Brain. Slice index 85. Image width 240 mm.
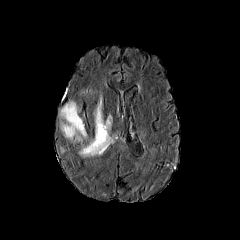
FLAIR magnetic resonance.
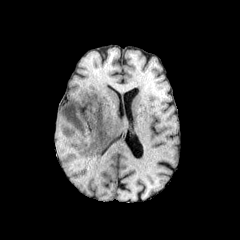
T1-weighted MR image.
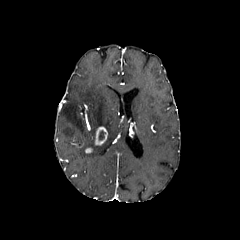
Post-contrast T1-weighted MR image.
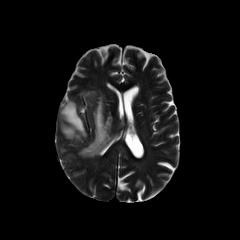
T2-weighted MR of the same slice.
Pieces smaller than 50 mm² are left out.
The largest enhancing tumor region is located at x1=94 y1=126 x2=107 y2=145. The necrotic tumor core is located at x1=99 y1=130 x2=106 y2=140. The 2 largest peritumoral edema regions appear at x1=60 y1=101 x2=87 y2=141, x1=79 y1=94 x2=114 y2=157.